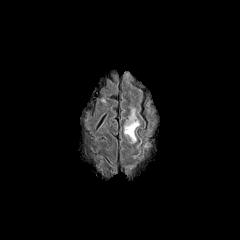
FLAIR magnetic resonance.
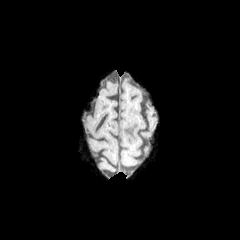
T1-weighted MRI.
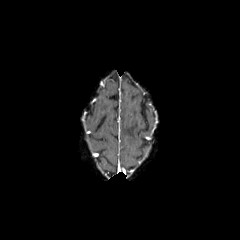
Post-contrast T1-weighted MR image.
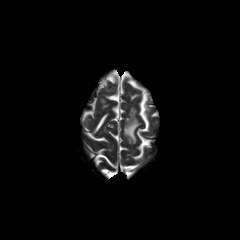
T2-weighted magnetic resonance.
Axial plane
peritumoral edema: [124, 109, 139, 143]